Axial view; Head
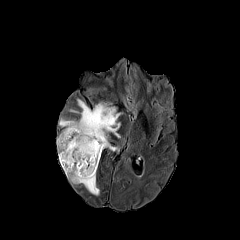
FLAIR MR image.
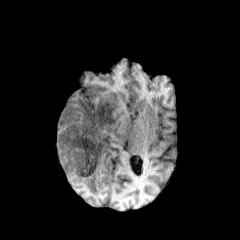
T1-weighted magnetic resonance of the same slice.
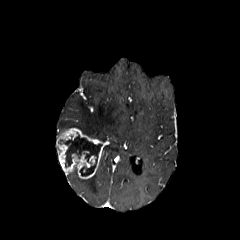
Post-contrast T1-weighted MR image of the same slice.
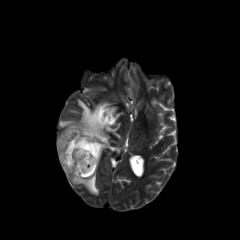
T2-weighted MR image.
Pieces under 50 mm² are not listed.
necrotic tumor core at [63,134,101,175]
enhancing tumor at [56,128,109,179]
peritumoral edema at [104,145,119,151], [67,168,99,195], [59,99,122,141]